FLAIR magnetic resonance.
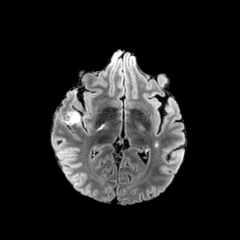
T1-weighted MRI.
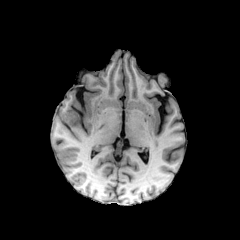
Post-contrast T1-weighted magnetic resonance.
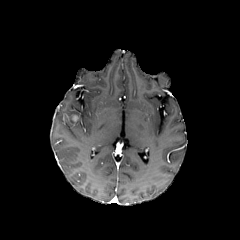
T2-weighted MR image.
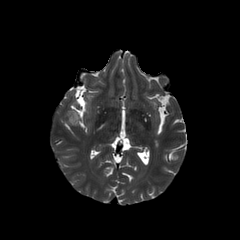
240x240 px, Head
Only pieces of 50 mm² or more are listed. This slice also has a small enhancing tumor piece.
peritumoral edema: x1=65, y1=111, x2=83, y2=126